FLAIR magnetic resonance.
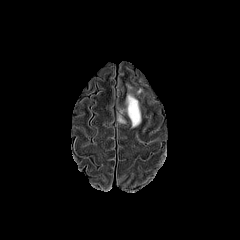
T1-weighted magnetic resonance.
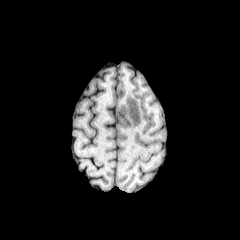
Post-contrast T1-weighted MR.
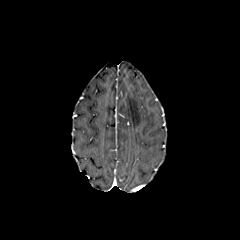
T2-weighted MR image.
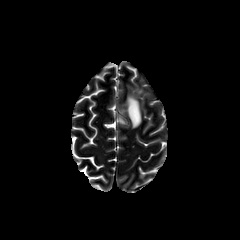
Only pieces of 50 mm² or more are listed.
peritumoral edema — 120:94:141:127